FLAIR MR.
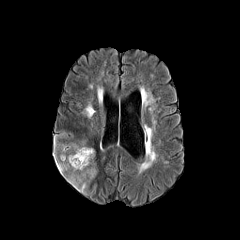
T1-weighted magnetic resonance.
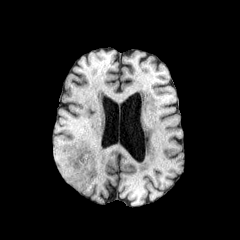
Post-contrast T1-weighted magnetic resonance.
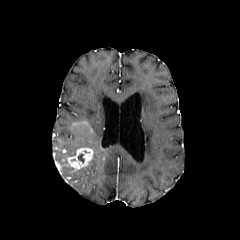
T2-weighted MRI.
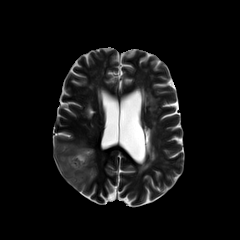
Brain | 240x240
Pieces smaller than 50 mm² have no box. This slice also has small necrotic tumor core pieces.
{
  "enhancing_tumor": [
    "left=66, top=147, right=93, bottom=170"
  ],
  "peritumoral_edema": [
    "left=54, top=137, right=95, bottom=193"
  ]
}